Head
FLAIR MR image.
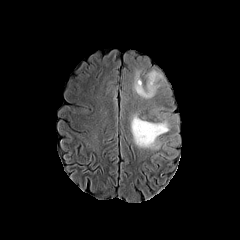
T1-weighted magnetic resonance.
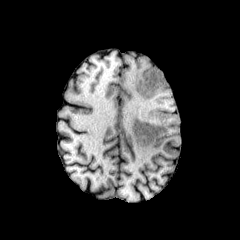
Post-contrast T1-weighted MRI.
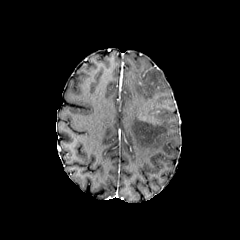
T2-weighted MRI.
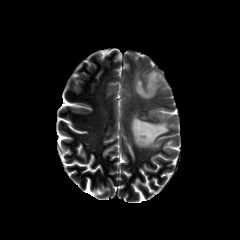
peritumoral_edema:
  - 133,70,163,98
  - 131,114,169,149